Slice 81 of 155 | Axial plane | 240x240
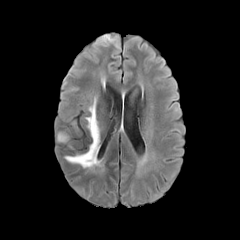
FLAIR MR.
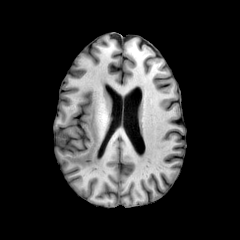
T1-weighted MR.
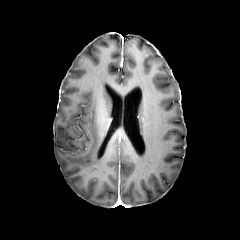
Post-contrast T1-weighted MR image.
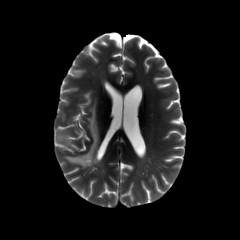
T2-weighted magnetic resonance of the same slice.
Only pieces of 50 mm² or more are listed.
The largest peritumoral edema region appears at x1=65, y1=106, x2=101, y2=168.